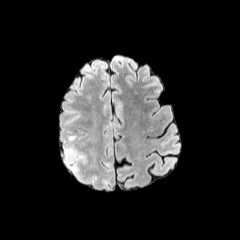
FLAIR magnetic resonance.
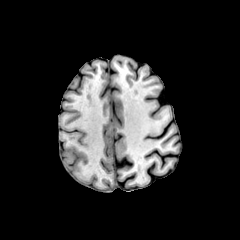
Same slice, T1-weighted magnetic resonance.
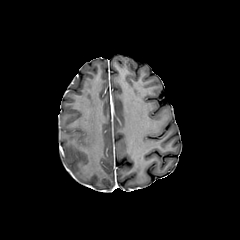
Post-contrast T1-weighted MR of the same slice.
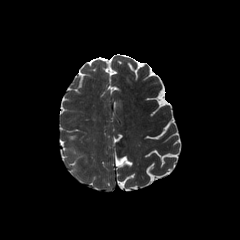
T2-weighted magnetic resonance.
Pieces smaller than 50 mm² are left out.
peritumoral edema: bounding box l=61, t=147, r=86, b=165